Brain
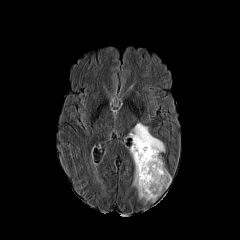
FLAIR MRI.
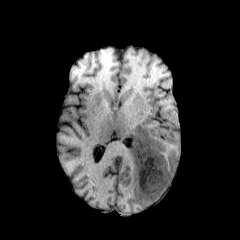
T1-weighted MR image of the same slice.
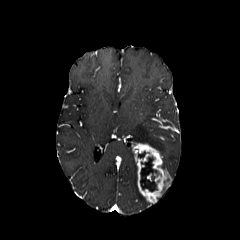
Post-contrast T1-weighted MRI of the same slice.
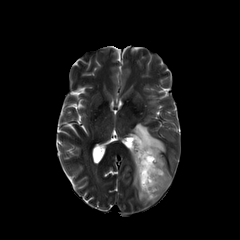
T2-weighted MRI.
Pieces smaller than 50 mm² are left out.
The enhancing tumor is located at 132, 143, 171, 203. The 2 largest peritumoral edema regions appear at 130, 152, 146, 202; 130, 123, 165, 153. The largest necrotic tumor core region appears at 140, 157, 157, 191.